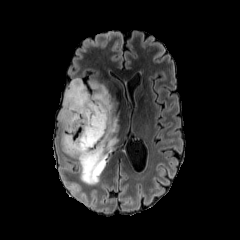
FLAIR MRI.
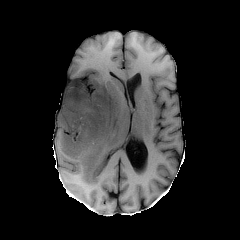
T1-weighted MRI.
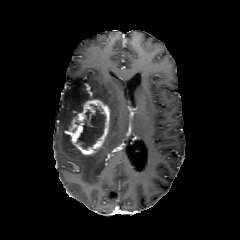
Post-contrast T1-weighted MRI of the same slice.
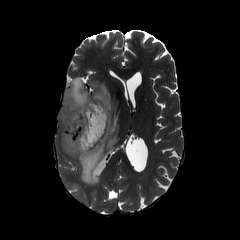
Same slice, T2-weighted MR.
Axial slice
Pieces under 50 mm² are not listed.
The largest necrotic tumor core region is located at (left=78, top=106, right=105, bottom=148). The peritumoral edema is located at (left=58, top=78, right=119, bottom=184). The largest enhancing tumor region lies within (left=67, top=99, right=110, bottom=155).